FLAIR magnetic resonance.
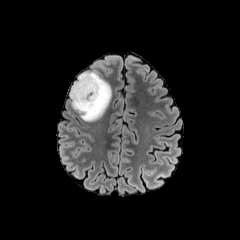
T1-weighted MR.
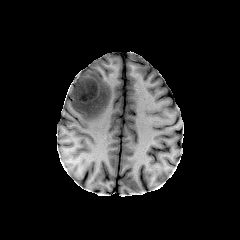
Post-contrast T1-weighted MR.
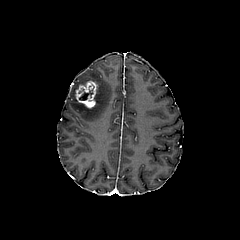
T2-weighted MRI.
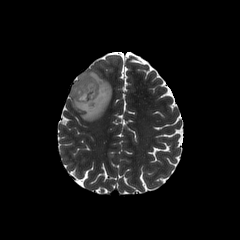
Annotated regions:
* peritumoral edema: {"x1": 69, "y1": 71, "x2": 111, "y2": 121}
* necrotic tumor core: {"x1": 79, "y1": 89, "x2": 92, "y2": 100}
* enhancing tumor: {"x1": 75, "y1": 80, "x2": 97, "y2": 108}